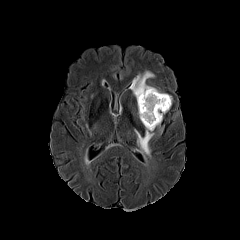
FLAIR MR image.
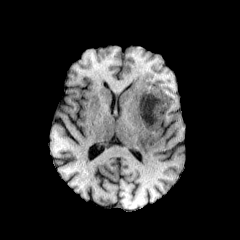
T1-weighted MR.
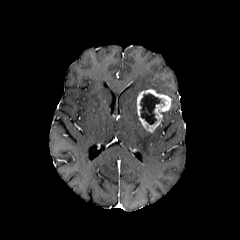
Post-contrast T1-weighted magnetic resonance of the same slice.
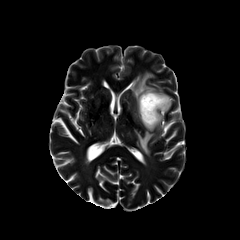
Same slice, T2-weighted magnetic resonance.
240x240 px
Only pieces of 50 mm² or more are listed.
The enhancing tumor is located at 137, 89, 172, 132. The 2 largest peritumoral edema regions appear at 134, 130, 154, 157; 130, 71, 161, 98. The necrotic tumor core is at 140, 93, 160, 124.